FLAIR MR image.
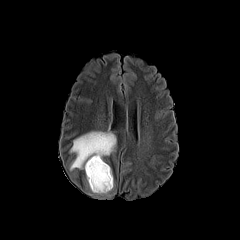
T1-weighted magnetic resonance.
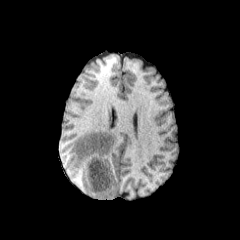
Post-contrast T1-weighted magnetic resonance.
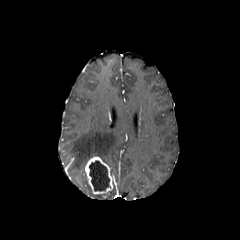
T2-weighted magnetic resonance.
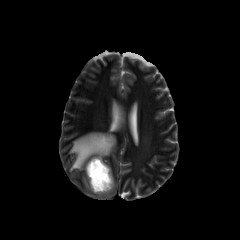
Head; Axial slice
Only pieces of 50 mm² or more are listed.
necrotic tumor core = (x1=89, y1=161, x2=109, y2=191)
peritumoral edema = (x1=70, y1=131, x2=116, y2=170)
enhancing tumor = (x1=85, y1=156, x2=113, y2=194)